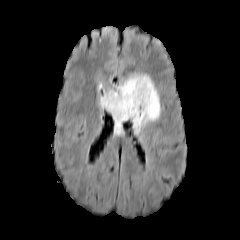
FLAIR MRI.
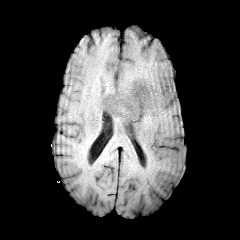
T1-weighted magnetic resonance of the same slice.
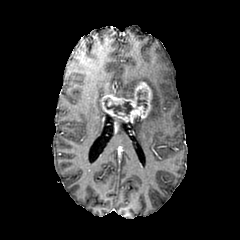
Post-contrast T1-weighted magnetic resonance.
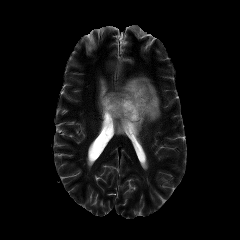
Same slice, T2-weighted MR image.
Axial plane; Head
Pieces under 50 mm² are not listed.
Annotated regions:
• necrotic tumor core: <bbox>104, 98, 133, 115</bbox>, <bbox>137, 90, 147, 109</bbox>
• peritumoral edema: <bbox>100, 74, 160, 134</bbox>, <bbox>113, 117, 122, 134</bbox>
• enhancing tumor: <bbox>101, 82, 152, 122</bbox>